Axial plane, Head, Slice 114/155
FLAIR magnetic resonance.
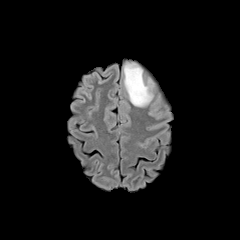
T1-weighted MR.
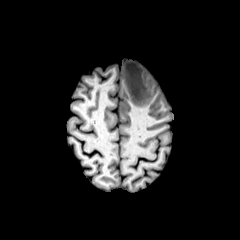
Post-contrast T1-weighted MRI.
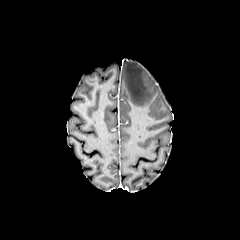
T2-weighted magnetic resonance.
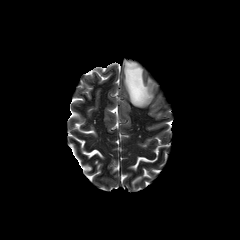
peritumoral_edema:
  - x1=124 y1=63 x2=152 y2=106